Slice 114 of 155 | Head
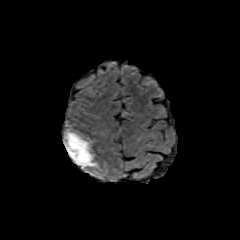
FLAIR MR.
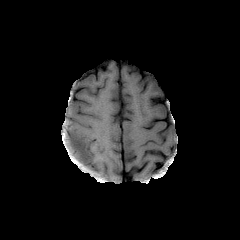
T1-weighted MRI.
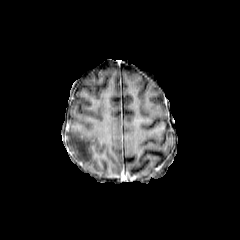
Post-contrast T1-weighted MRI of the same slice.
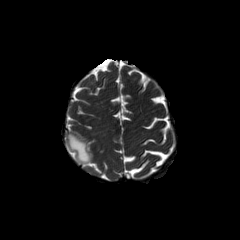
T2-weighted MR image of the same slice.
peritumoral edema at box(65, 130, 96, 168)